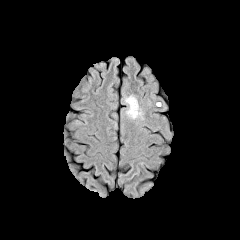
FLAIR MR.
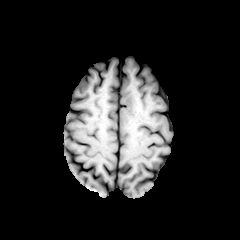
T1-weighted MRI.
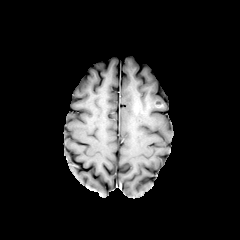
Post-contrast T1-weighted MR image.
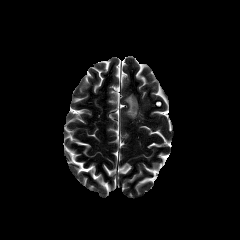
T2-weighted magnetic resonance of the same slice.
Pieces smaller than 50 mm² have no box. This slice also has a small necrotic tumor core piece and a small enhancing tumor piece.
{
  "peritumoral_edema": [
    "box(124, 94, 142, 119)"
  ]
}